FLAIR MR.
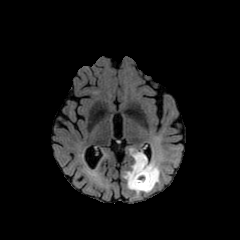
T1-weighted MR image.
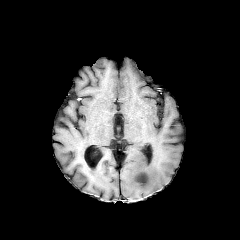
Post-contrast T1-weighted MR image.
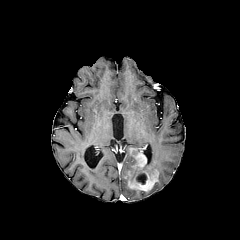
T2-weighted MR.
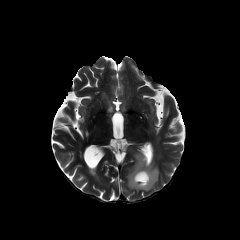
Axial view.
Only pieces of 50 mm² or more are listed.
enhancing_tumor:
  - 128 152 158 191
necrotic_tumor_core:
  - 136 172 147 184
peritumoral_edema:
  - 125 148 160 194